240x240; Slice 113/155; Head; Axial view
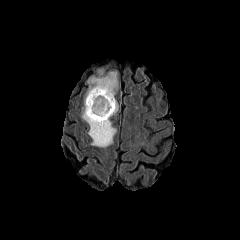
FLAIR magnetic resonance.
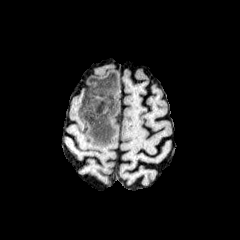
T1-weighted MR of the same slice.
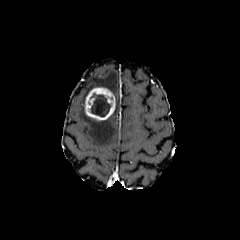
Post-contrast T1-weighted MR image.
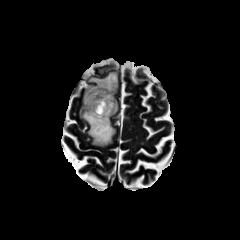
T2-weighted MRI.
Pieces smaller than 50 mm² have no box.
peritumoral edema: [x1=86, y1=71, x2=118, y2=95], [x1=81, y1=101, x2=118, y2=147] | necrotic tumor core: [x1=90, y1=93, x2=110, y2=116] | enhancing tumor: [x1=84, y1=87, x2=115, y2=120]